FLAIR MRI.
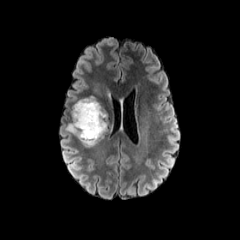
T1-weighted magnetic resonance.
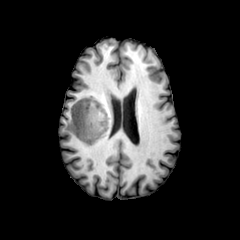
Post-contrast T1-weighted magnetic resonance.
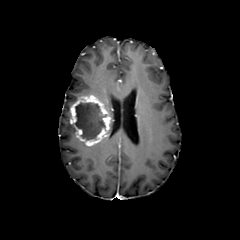
T2-weighted MRI.
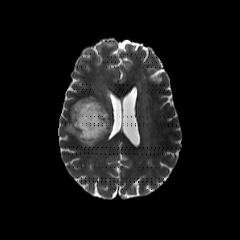
Brain
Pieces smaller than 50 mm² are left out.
enhancing tumor: (left=70, top=95, right=109, bottom=146) | peritumoral edema: (left=92, top=83, right=102, bottom=96), (left=65, top=121, right=74, bottom=135) | necrotic tumor core: (left=75, top=102, right=105, bottom=141)